FLAIR MR.
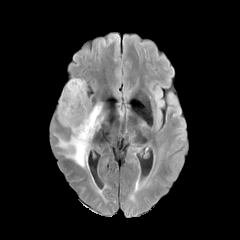
T1-weighted MR image.
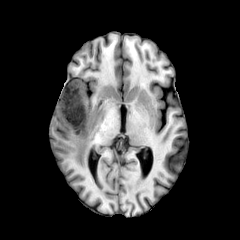
Post-contrast T1-weighted MRI.
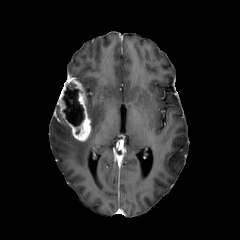
T2-weighted MRI.
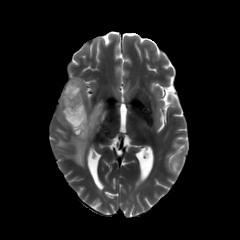
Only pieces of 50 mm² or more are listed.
necrotic tumor core — (62, 83, 84, 126)
enhancing tumor — (57, 77, 91, 141)
peritumoral edema — (54, 103, 104, 167)